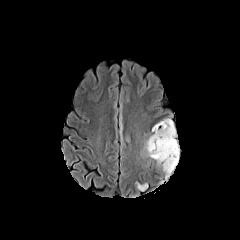
FLAIR MR.
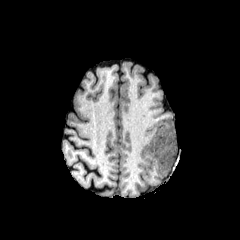
T1-weighted MR.
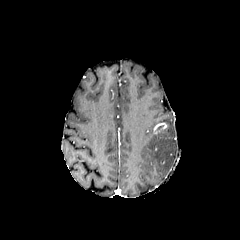
Post-contrast T1-weighted magnetic resonance.
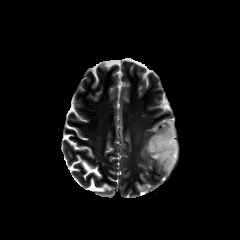
T2-weighted MRI.
Axial plane | Brain | 240x240 px
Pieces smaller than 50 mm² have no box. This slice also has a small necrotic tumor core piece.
enhancing tumor = bbox(153, 122, 167, 134)
peritumoral edema = bbox(119, 105, 124, 145); bbox(136, 182, 148, 191); bbox(125, 133, 131, 141); bbox(144, 118, 179, 184)